Brain, 240x240
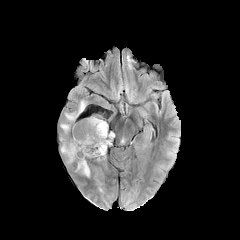
FLAIR magnetic resonance.
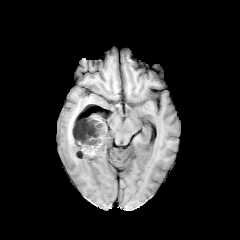
T1-weighted magnetic resonance.
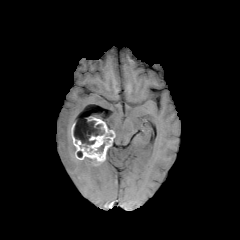
Post-contrast T1-weighted MRI.
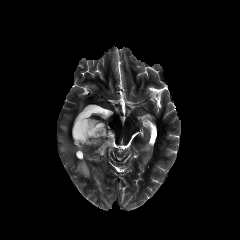
Same slice, T2-weighted MRI.
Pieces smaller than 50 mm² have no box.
peritumoral edema — (left=65, top=101, right=84, bottom=121), (left=76, top=159, right=90, bottom=177), (left=60, top=137, right=75, bottom=162), (left=60, top=123, right=69, bottom=133)
enhancing tumor — (left=71, top=117, right=115, bottom=166)
necrotic tumor core — (left=74, top=119, right=109, bottom=152)